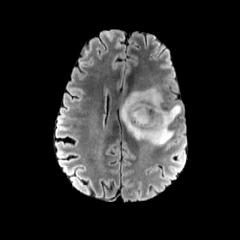
FLAIR MR.
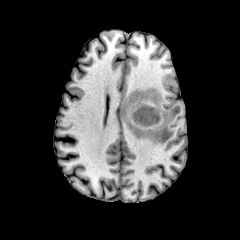
T1-weighted MR.
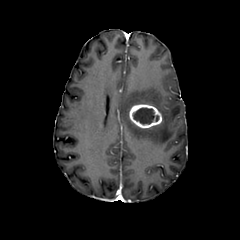
Same slice, post-contrast T1-weighted MR.
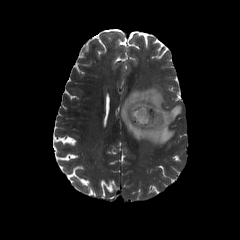
Same slice, T2-weighted MR image.
Axial view
enhancing tumor: box(129, 104, 162, 128)
peritumoral edema: box(121, 86, 181, 145)
necrotic tumor core: box(133, 108, 158, 124)